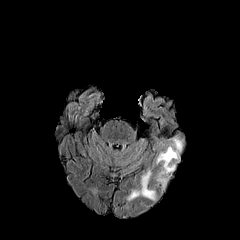
FLAIR magnetic resonance.
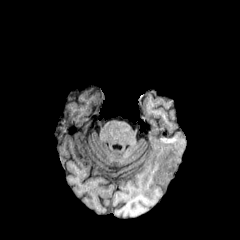
Same slice, T1-weighted MR image.
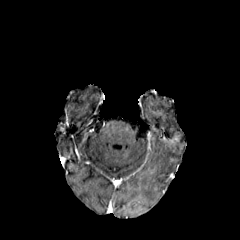
Post-contrast T1-weighted magnetic resonance of the same slice.
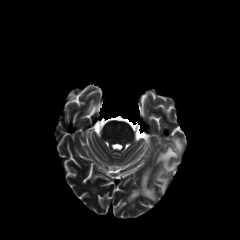
T2-weighted magnetic resonance.
Head
peritumoral edema — box(157, 176, 166, 186); box(128, 171, 155, 200); box(156, 139, 182, 174)